FLAIR magnetic resonance.
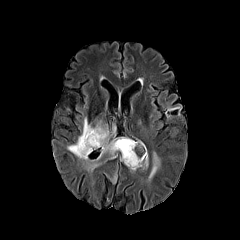
T1-weighted MR image.
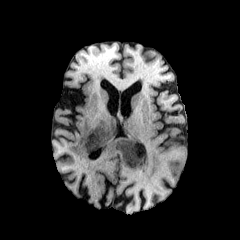
Post-contrast T1-weighted magnetic resonance.
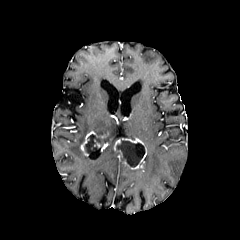
T2-weighted magnetic resonance.
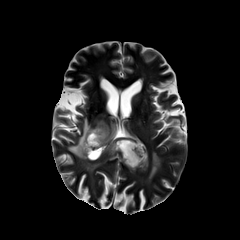
240x240
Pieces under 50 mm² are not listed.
The 2 largest enhancing tumor regions appear at [80,131,107,156], [122,138,146,169]. The 6 largest peritumoral edema regions are bounded by [87,163,99,170], [148,152,160,180], [99,124,117,158], [143,154,148,169], [67,118,108,160], [109,171,116,182]. The 2 largest necrotic tumor core regions are located at [116,140,145,167], [84,134,103,153].